FLAIR MR image.
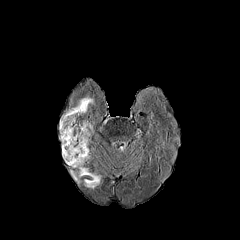
T1-weighted MR image.
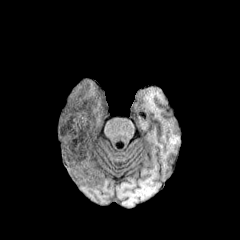
Post-contrast T1-weighted MR image.
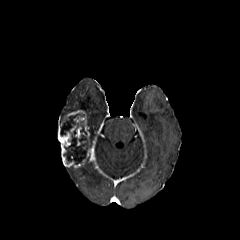
T2-weighted magnetic resonance.
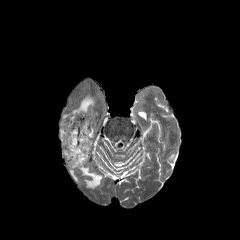
Brain
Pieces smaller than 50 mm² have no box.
<segmentation>
  <enhancing_tumor>l=67, t=148, r=90, b=167; l=58, t=110, r=90, b=162</enhancing_tumor>
  <peritumoral_edema>l=68, t=96, r=93, b=112; l=79, t=167, r=100, b=188</peritumoral_edema>
  <necrotic_tumor_core>l=60, t=114, r=90, b=164</necrotic_tumor_core>
</segmentation>